FLAIR magnetic resonance.
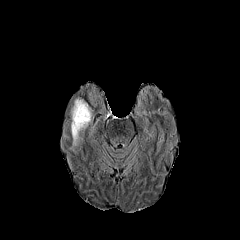
T1-weighted MR.
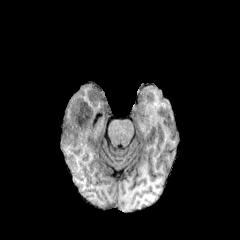
Post-contrast T1-weighted MR.
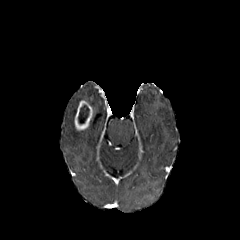
T2-weighted MRI.
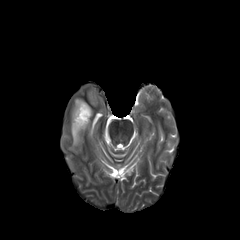
Axial slice. Brain.
necrotic tumor core: left=78, top=105, right=89, bottom=124 | enhancing tumor: left=74, top=100, right=92, bottom=130 | peritumoral edema: left=71, top=98, right=81, bottom=147